Head
FLAIR MR image.
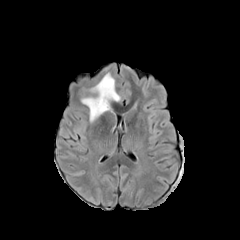
T1-weighted MRI.
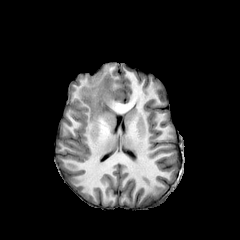
Post-contrast T1-weighted MRI.
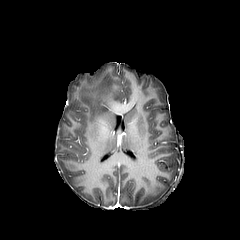
T2-weighted MRI.
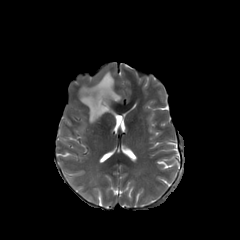
The peritumoral edema appears at bbox=[80, 72, 120, 122].